Image size 240x240; Brain; Slice 93/155; Axial plane
FLAIR MRI.
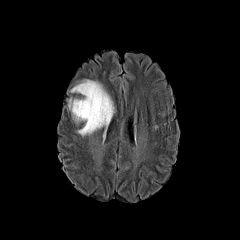
T1-weighted MR.
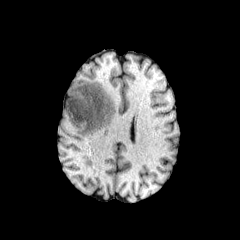
Post-contrast T1-weighted MR image.
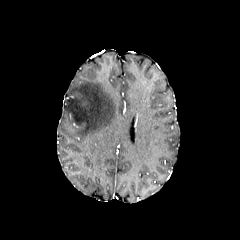
T2-weighted MR image.
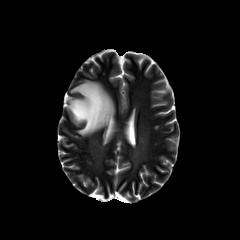
peritumoral edema — <bbox>68, 79, 114, 136</bbox>